Slice 103 of 155. Head.
FLAIR MR.
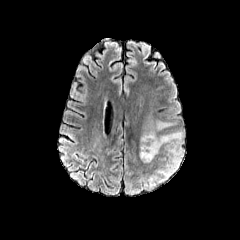
T1-weighted MR image.
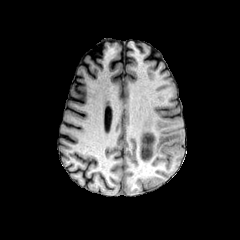
Post-contrast T1-weighted MR image.
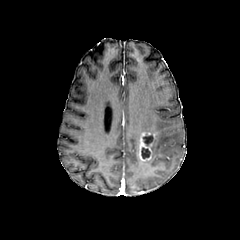
T2-weighted MR image.
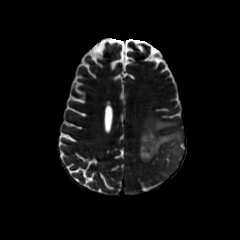
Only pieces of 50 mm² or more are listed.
Findings:
* peritumoral edema: [x1=142, y1=116, x2=183, y2=171]
* necrotic tumor core: [x1=143, y1=135, x2=153, y2=145], [x1=141, y1=147, x2=150, y2=158]
* enhancing tumor: [x1=138, y1=131, x2=156, y2=161]